Slice 121 of 155 | 240x240 px
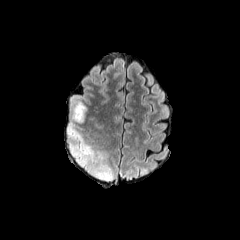
FLAIR magnetic resonance.
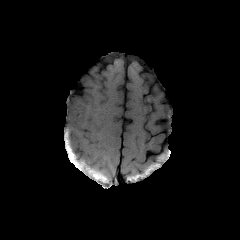
T1-weighted magnetic resonance.
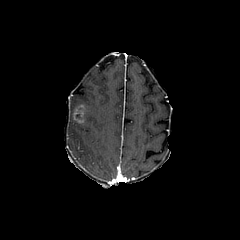
Post-contrast T1-weighted magnetic resonance of the same slice.
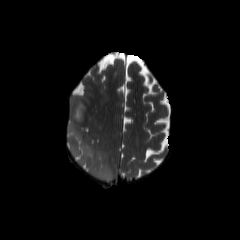
T2-weighted MR.
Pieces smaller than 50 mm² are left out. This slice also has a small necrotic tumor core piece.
<segmentation>
  <enhancing_tumor>74,104,85,122</enhancing_tumor>
  <peritumoral_edema>72,101,82,119; 67,123,113,181</peritumoral_edema>
</segmentation>